Head; Axial slice
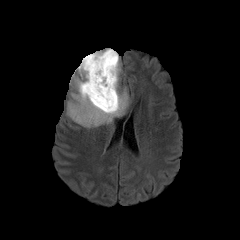
FLAIR magnetic resonance.
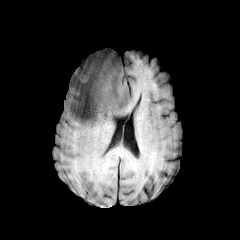
T1-weighted MRI of the same slice.
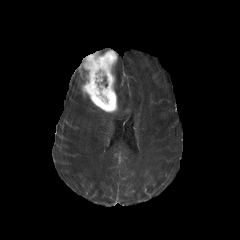
Same slice, post-contrast T1-weighted MRI.
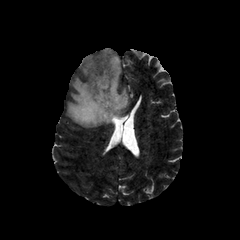
T2-weighted magnetic resonance of the same slice.
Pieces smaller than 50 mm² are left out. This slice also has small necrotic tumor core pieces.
enhancing tumor — (78, 50, 117, 112)
peritumoral edema — (66, 55, 129, 128)